240x240 px. Axial view. Image width 240 mm, 1.00 mm slice spacing.
FLAIR MR image.
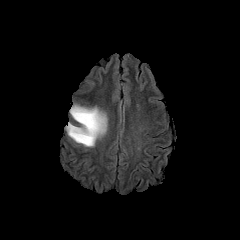
T1-weighted MRI.
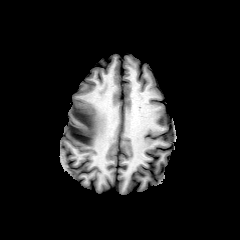
Post-contrast T1-weighted magnetic resonance.
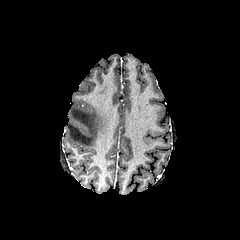
T2-weighted MR image.
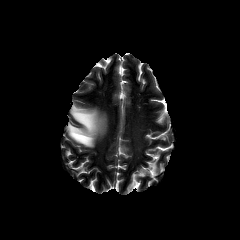
peritumoral edema at 67 105 107 146